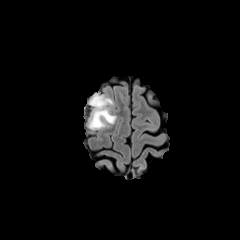
FLAIR MR image.
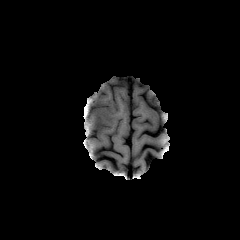
T1-weighted MR.
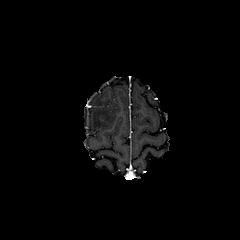
Post-contrast T1-weighted MRI of the same slice.
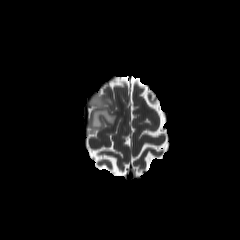
Same slice, T2-weighted MR image.
Brain
peritumoral edema: [x1=88, y1=93, x2=116, y2=129]